FLAIR MR image.
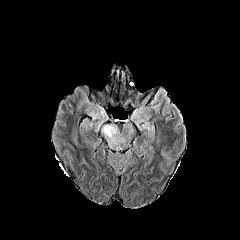
T1-weighted MR image.
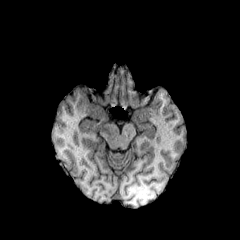
Post-contrast T1-weighted MRI.
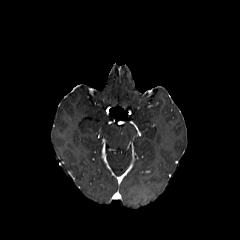
T2-weighted MR image.
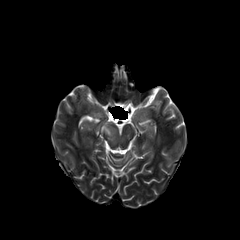
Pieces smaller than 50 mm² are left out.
peritumoral edema: 102 125 117 143